Slice 55/155; Image width 240 mm, 1.00 mm slice spacing
FLAIR MR.
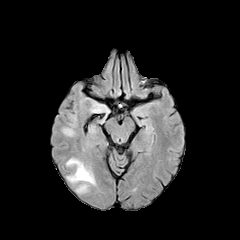
T1-weighted MR image.
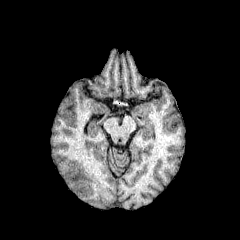
Post-contrast T1-weighted MRI.
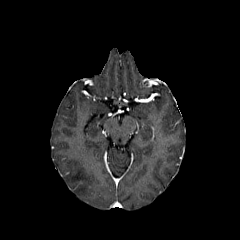
T2-weighted magnetic resonance.
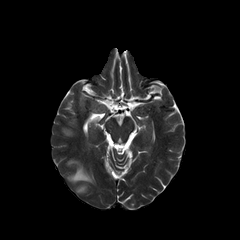
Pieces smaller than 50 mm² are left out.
The 2 largest peritumoral edema regions appear at x1=66 y1=158 x2=95 y2=192, x1=62 y1=128 x2=75 y2=136.